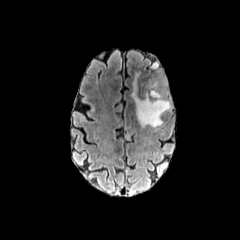
FLAIR magnetic resonance.
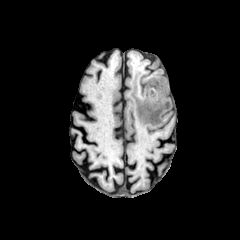
T1-weighted MRI.
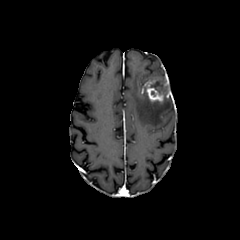
Post-contrast T1-weighted MR image of the same slice.
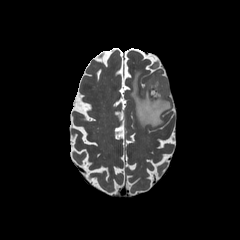
T2-weighted MR.
Head
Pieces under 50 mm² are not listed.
Segmented structures:
* enhancing tumor: box(142, 78, 170, 103)
* necrotic tumor core: box(150, 82, 165, 96)
* peritumoral edema: box(131, 72, 171, 127); box(150, 60, 158, 68)